FLAIR magnetic resonance.
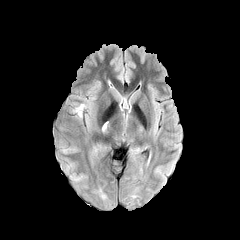
T1-weighted MR image.
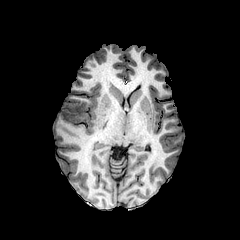
Post-contrast T1-weighted MR.
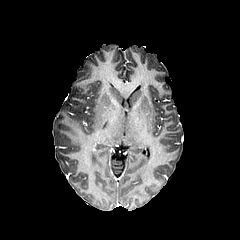
T2-weighted MRI.
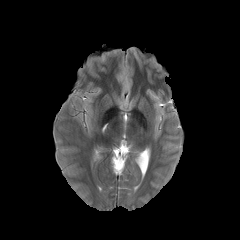
Head
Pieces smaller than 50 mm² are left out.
peritumoral edema at bbox(76, 104, 84, 117)